Slice index 69; Image width 240 mm; Head; Axial view
FLAIR MR.
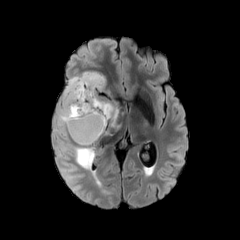
T1-weighted MR.
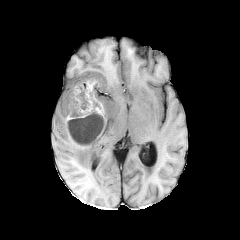
Post-contrast T1-weighted MRI.
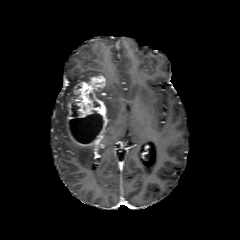
T2-weighted MRI.
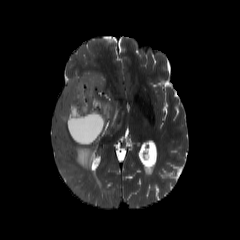
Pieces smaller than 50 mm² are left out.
The enhancing tumor is at 67,75,108,148. The largest necrotic tumor core region is bounded by 68,99,103,143. The 3 largest peritumoral edema regions are located at 102,100,118,126; 74,145,93,169; 55,72,100,128.